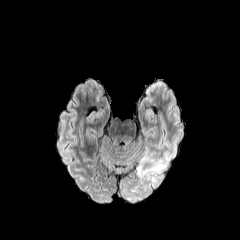
FLAIR MR.
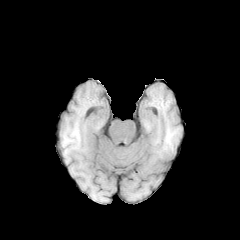
Same slice, T1-weighted magnetic resonance.
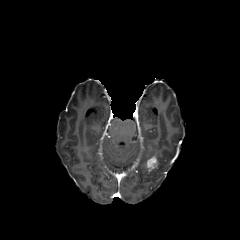
Post-contrast T1-weighted MRI.
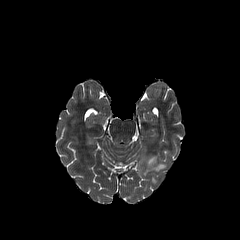
T2-weighted MR image.
Brain
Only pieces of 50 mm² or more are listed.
- peritumoral edema: 137 156 166 177
- enhancing tumor: 146 156 158 171